FLAIR MR image.
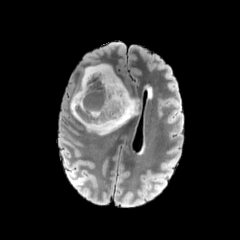
T1-weighted MR.
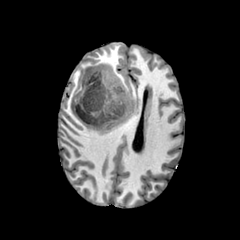
Post-contrast T1-weighted magnetic resonance.
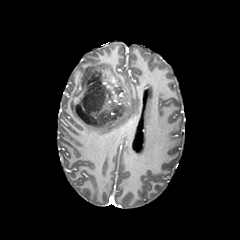
T2-weighted magnetic resonance.
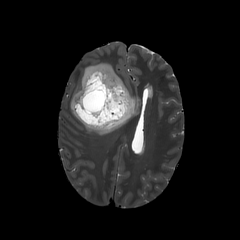
Head
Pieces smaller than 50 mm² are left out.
• necrotic tumor core: <box>75,73,122,125</box>
• enhancing tumor: <box>73,70,129,115</box>
• peritumoral edema: <box>70,63,138,135</box>